FLAIR MRI.
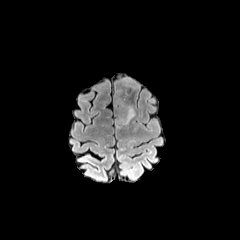
T1-weighted MR.
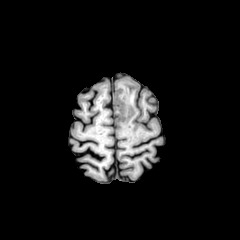
Post-contrast T1-weighted magnetic resonance.
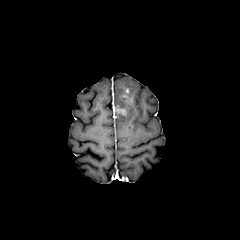
T2-weighted magnetic resonance.
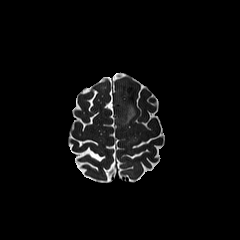
Axial plane | Head
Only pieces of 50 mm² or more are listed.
* peritumoral edema: box=[116, 97, 135, 125]
* enhancing tumor: box=[115, 106, 126, 115]